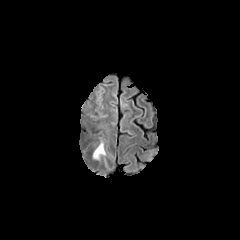
FLAIR MR.
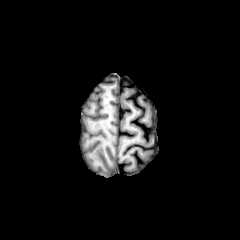
Same slice, T1-weighted MR image.
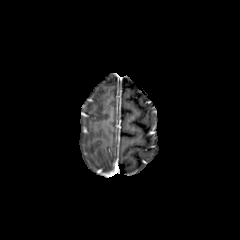
Post-contrast T1-weighted MRI of the same slice.
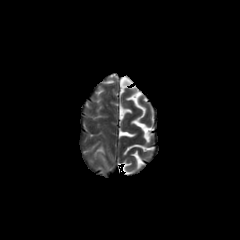
T2-weighted MRI of the same slice.
Axial slice | Brain
peritumoral edema at [94,144,104,158]